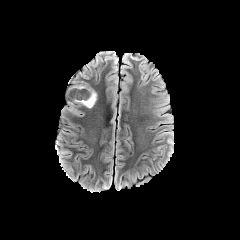
FLAIR magnetic resonance.
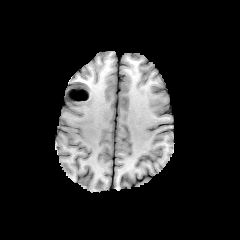
Same slice, T1-weighted MR image.
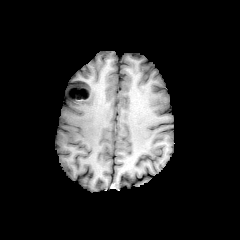
Same slice, post-contrast T1-weighted MR.
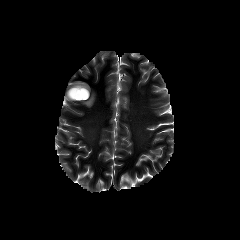
T2-weighted MR.
240x240 px; Axial view; Head
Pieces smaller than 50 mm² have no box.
Findings:
- necrotic tumor core: 69:89:88:99
- enhancing tumor: 67:87:89:100
- peritumoral edema: 70:82:96:107